Slice index 94, 240x240 px, Head
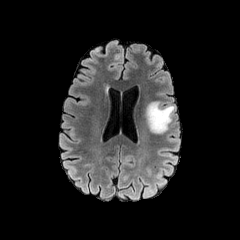
FLAIR MRI.
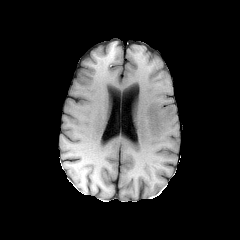
T1-weighted MR image of the same slice.
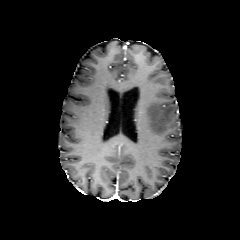
Post-contrast T1-weighted MR image.
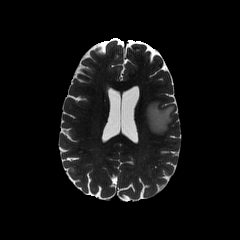
T2-weighted magnetic resonance.
The peritumoral edema appears at x1=146 y1=101 x2=174 y2=133.